FLAIR MR image.
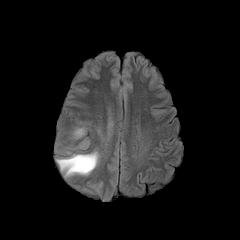
T1-weighted MR.
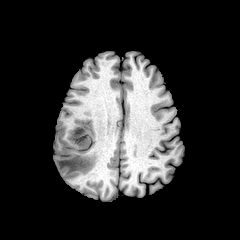
Post-contrast T1-weighted MRI.
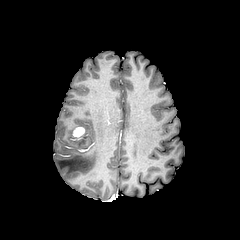
T2-weighted MRI.
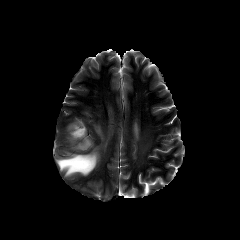
Axial plane; Image size 240x240; Brain
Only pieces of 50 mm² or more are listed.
enhancing tumor = [73, 127, 84, 137]
peritumoral edema = [56, 151, 98, 176]